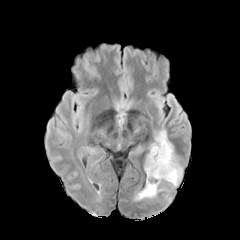
FLAIR MR.
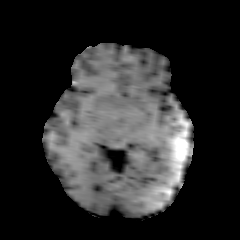
T1-weighted MR image.
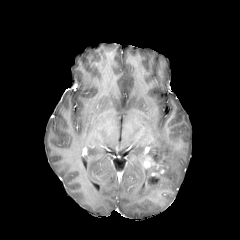
Post-contrast T1-weighted MRI.
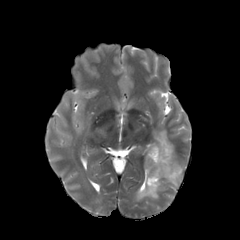
Same slice, T2-weighted magnetic resonance.
Axial slice
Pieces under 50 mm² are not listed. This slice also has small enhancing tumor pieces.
The peritumoral edema is bounded by (left=137, top=129, right=182, bottom=199).